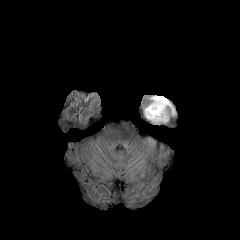
FLAIR MR.
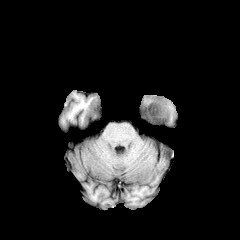
Same slice, T1-weighted MR.
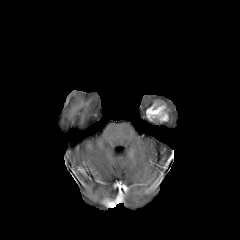
Post-contrast T1-weighted magnetic resonance of the same slice.
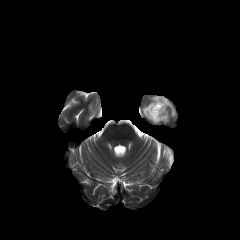
T2-weighted MRI.
240x240 px | Axial slice
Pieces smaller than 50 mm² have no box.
<segmentation>
  <peritumoral_edema>box(144, 95, 175, 119)</peritumoral_edema>
  <enhancing_tumor>box(146, 100, 168, 122)</enhancing_tumor>
</segmentation>